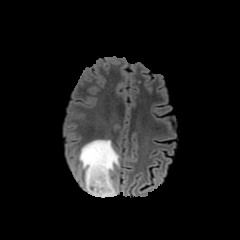
FLAIR MR image.
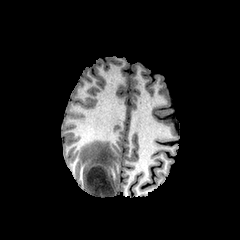
T1-weighted MR.
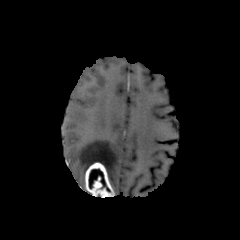
Post-contrast T1-weighted MRI of the same slice.
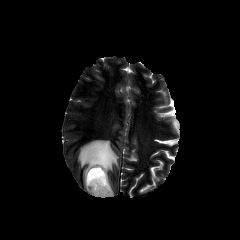
T2-weighted MR.
Image size 240x240
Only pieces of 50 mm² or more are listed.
The largest peritumoral edema region is bounded by box(78, 139, 119, 195). The enhancing tumor lies within box(85, 162, 114, 197). The necrotic tumor core is at box(89, 169, 110, 191).